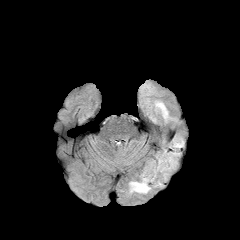
FLAIR MRI.
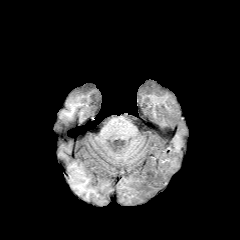
Same slice, T1-weighted MR image.
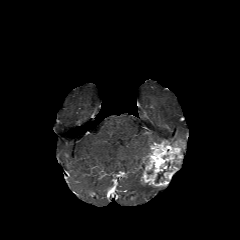
Post-contrast T1-weighted magnetic resonance.
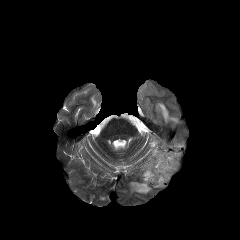
T2-weighted MR of the same slice.
Axial slice, 240x240
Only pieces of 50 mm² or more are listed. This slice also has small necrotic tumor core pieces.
enhancing tumor: {"x1": 141, "y1": 139, "x2": 184, "y2": 187} | peritumoral edema: {"x1": 155, "y1": 101, "x2": 178, "y2": 122}, {"x1": 129, "y1": 181, "x2": 151, "y2": 193}